Head; Slice index 89; Image size 240x240
FLAIR magnetic resonance.
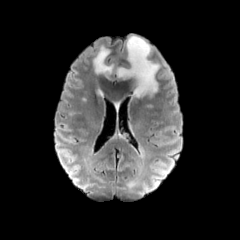
T1-weighted MR image.
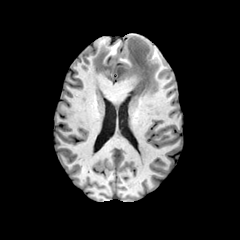
Post-contrast T1-weighted magnetic resonance.
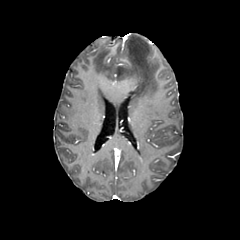
T2-weighted MR.
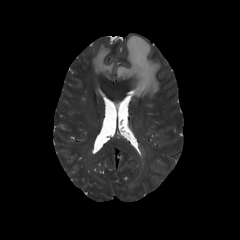
2 peritumoral edema regions are bounded by [116, 35, 159, 97], [93, 45, 113, 76].